FLAIR MRI.
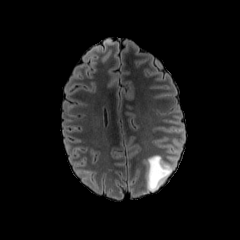
T1-weighted magnetic resonance.
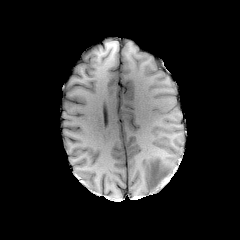
Post-contrast T1-weighted magnetic resonance.
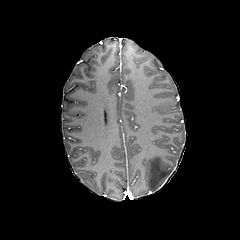
T2-weighted magnetic resonance.
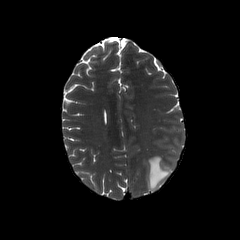
Brain. 240x240.
peritumoral_edema:
  - <box>145,155,173,191</box>